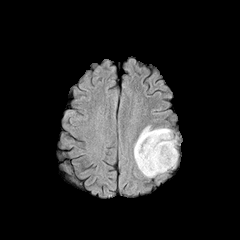
FLAIR magnetic resonance.
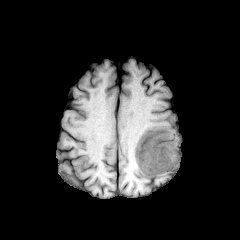
T1-weighted magnetic resonance.
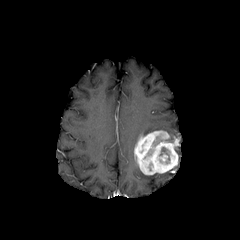
Post-contrast T1-weighted MR image.
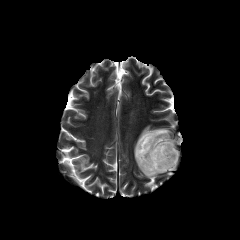
T2-weighted MRI of the same slice.
Brain, Axial plane
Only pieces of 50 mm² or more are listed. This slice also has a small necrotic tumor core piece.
<segmentation>
  <peritumoral_edema>box=[140, 126, 173, 140]</peritumoral_edema>
  <enhancing_tumor>box=[134, 130, 179, 175]</enhancing_tumor>
</segmentation>